Brain
FLAIR MR image.
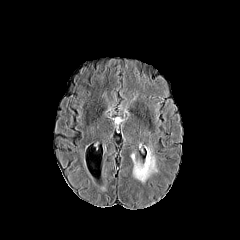
T1-weighted MRI.
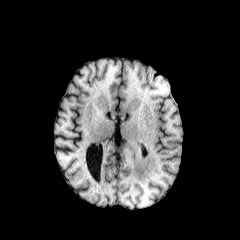
Post-contrast T1-weighted MRI.
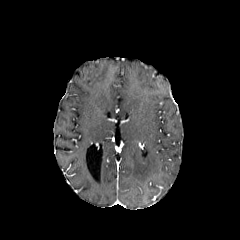
T2-weighted MR image.
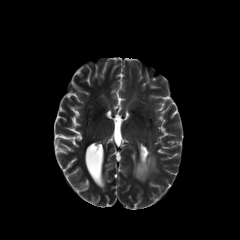
peritumoral edema — x1=131 y1=149 x2=157 y2=182